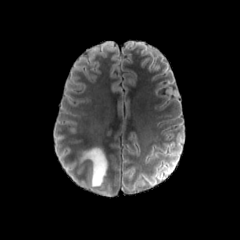
FLAIR MR.
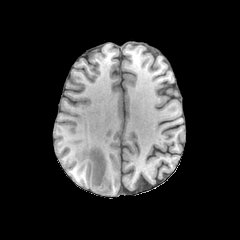
Same slice, T1-weighted MR image.
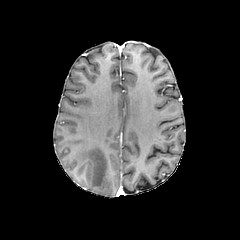
Post-contrast T1-weighted MR of the same slice.
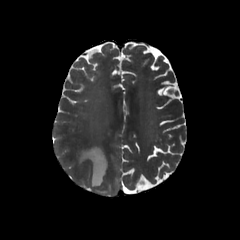
Same slice, T2-weighted MR image.
Head; Axial slice
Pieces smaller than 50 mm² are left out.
peritumoral edema — rect(81, 147, 107, 187)